FLAIR magnetic resonance.
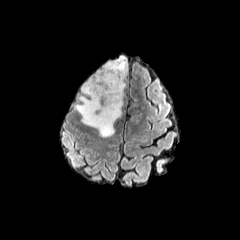
T1-weighted MRI.
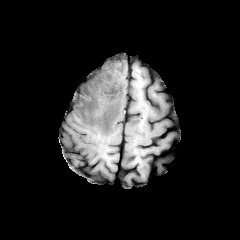
Post-contrast T1-weighted MR image.
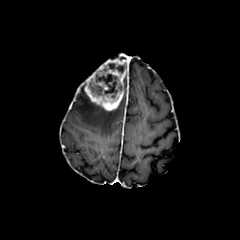
T2-weighted MRI.
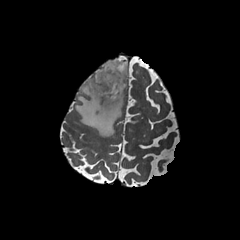
Axial plane
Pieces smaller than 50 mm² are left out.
enhancing tumor = 84, 55, 128, 111
necrotic tumor core = 89, 81, 103, 95; 95, 74, 117, 97; 108, 63, 126, 73
peritumoral edema = 74, 83, 123, 136